Slice 57/155 | Head | 240x240 px
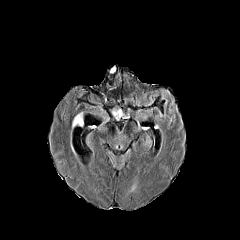
FLAIR MR image.
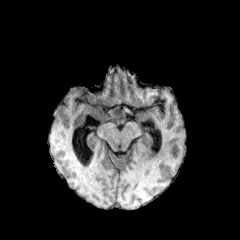
T1-weighted magnetic resonance of the same slice.
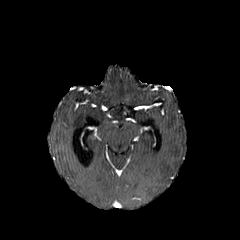
Post-contrast T1-weighted MR of the same slice.
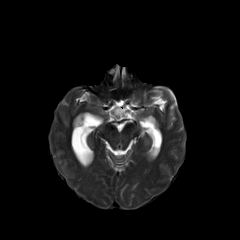
T2-weighted MRI of the same slice.
peritumoral edema: (113,109,122,118), (72,112,83,127)